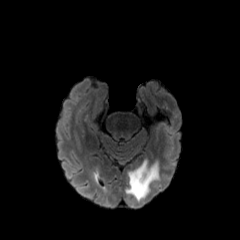
FLAIR magnetic resonance.
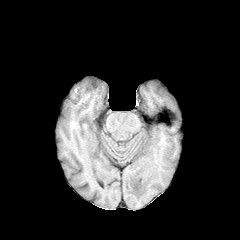
T1-weighted MR.
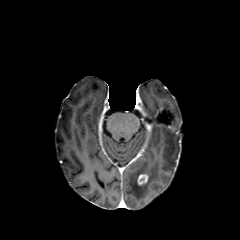
Post-contrast T1-weighted MR image.
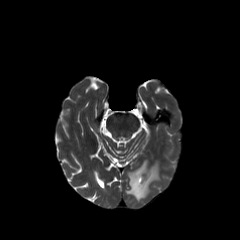
T2-weighted magnetic resonance of the same slice.
Axial slice
enhancing_tumor:
  - 137 174 148 184
peritumoral_edema:
  - 126 160 159 201